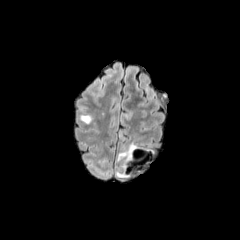
FLAIR MR image.
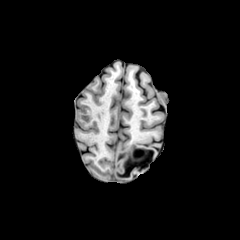
T1-weighted MRI.
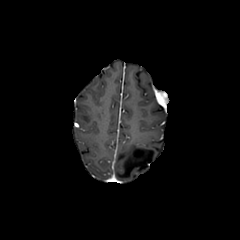
Same slice, post-contrast T1-weighted MR.
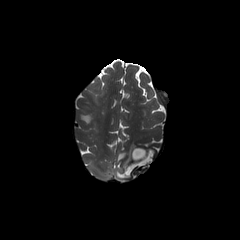
T2-weighted magnetic resonance of the same slice.
Image size 240x240, Axial view
{
  "peritumoral_edema": [
    "(80, 115, 91, 123)"
  ]
}